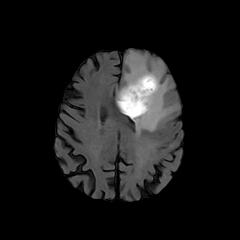
FLAIR MR.
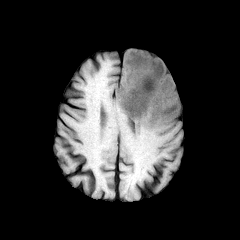
T1-weighted magnetic resonance.
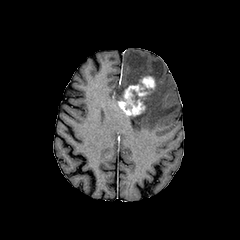
Post-contrast T1-weighted magnetic resonance of the same slice.
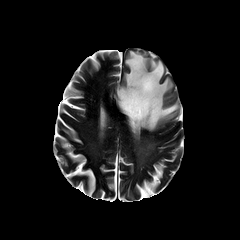
T2-weighted MR.
Head.
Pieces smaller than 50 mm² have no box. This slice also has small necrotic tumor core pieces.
peritumoral edema = {"x1": 116, "y1": 50, "x2": 179, "y2": 133}
enhancing tumor = {"x1": 118, "y1": 76, "x2": 155, "y2": 116}